Axial plane | Image width 240 mm | Slice index 70 | Image size 240x240 | Brain
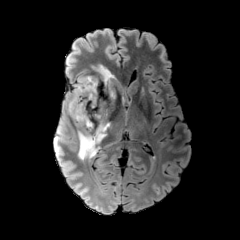
FLAIR magnetic resonance.
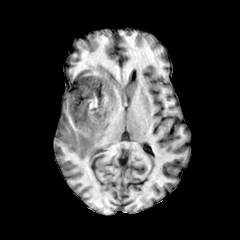
T1-weighted MRI.
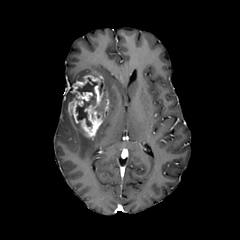
Same slice, post-contrast T1-weighted MRI.
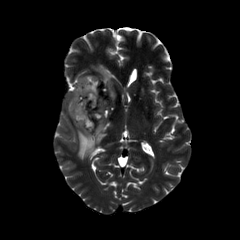
T2-weighted MR.
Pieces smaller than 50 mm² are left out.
{"necrotic_tumor_core": ["left=76, top=77, right=97, bottom=126"], "peritumoral_edema": ["left=65, top=91, right=71, bottom=111", "left=75, top=122, right=110, bottom=159", "left=92, top=65, right=116, bottom=108"], "enhancing_tumor": ["left=68, top=75, right=110, bottom=138"]}